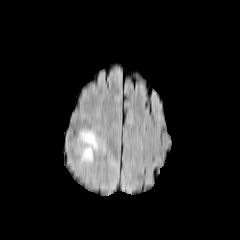
FLAIR MR.
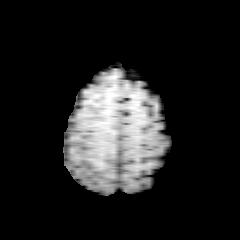
T1-weighted MR of the same slice.
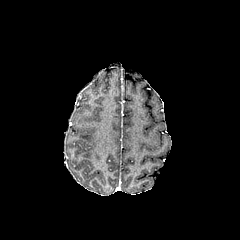
Post-contrast T1-weighted MR.
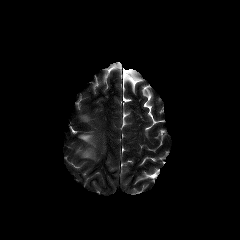
T2-weighted MR image.
Axial view
The peritumoral edema is located at 81, 132, 97, 158.